FLAIR MRI.
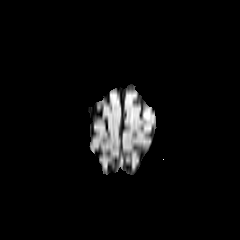
T1-weighted MR.
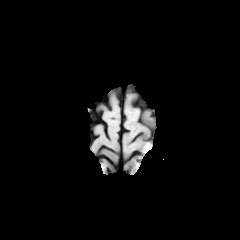
Post-contrast T1-weighted MR.
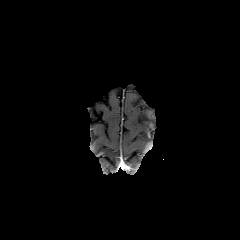
T2-weighted MRI.
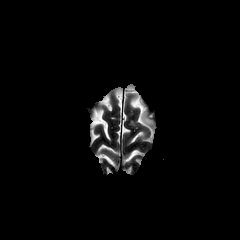
Head, Axial slice
Segmented structures:
* peritumoral edema: region(143, 109, 152, 127)